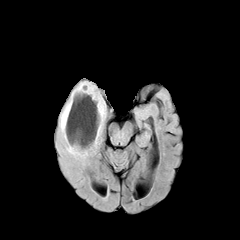
FLAIR MR image.
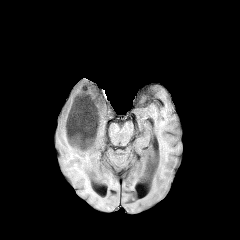
Same slice, T1-weighted magnetic resonance.
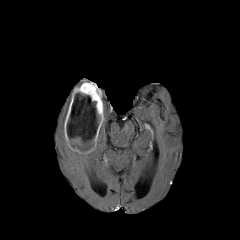
Post-contrast T1-weighted MRI.
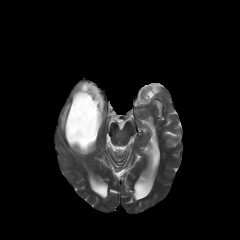
Same slice, T2-weighted MR image.
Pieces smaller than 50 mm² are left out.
necrotic tumor core — bbox=[67, 93, 98, 151]
enhancing tumor — bbox=[64, 81, 104, 153]
peritumoral edema — bbox=[59, 96, 95, 158]; bbox=[103, 99, 107, 119]; bbox=[96, 122, 103, 148]